Image covers 240 mm x 240 mm. Axial slice. Brain.
FLAIR MR image.
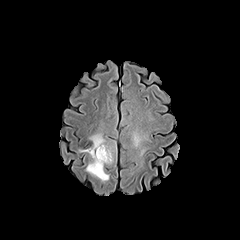
T1-weighted MR image.
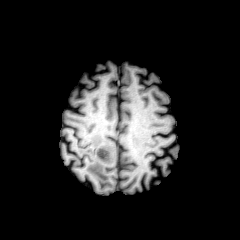
Post-contrast T1-weighted MR.
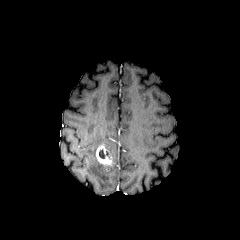
T2-weighted MR image.
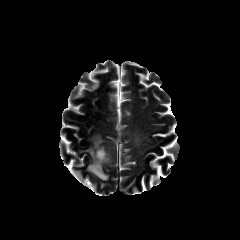
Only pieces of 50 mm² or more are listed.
enhancing tumor: [96,145,112,165]
necrotic tumor core: [99,150,109,158]
peritumoral edema: [80,134,109,181]